FLAIR MR.
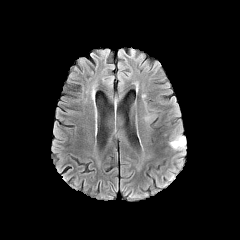
T1-weighted MRI.
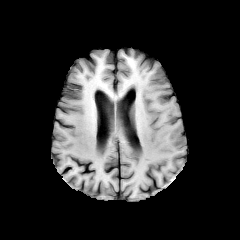
Post-contrast T1-weighted MR image.
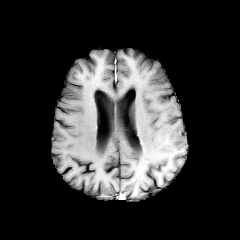
T2-weighted MRI.
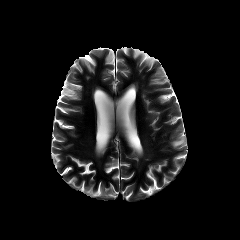
Head, 240x240 px
The peritumoral edema is at bbox=[172, 135, 187, 148].